FLAIR magnetic resonance.
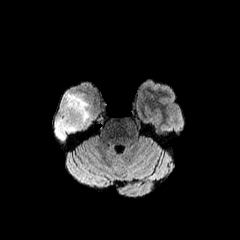
T1-weighted magnetic resonance.
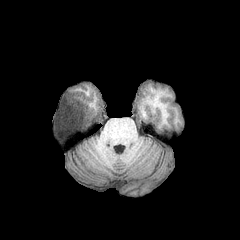
Post-contrast T1-weighted MRI.
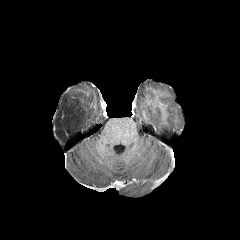
T2-weighted MRI.
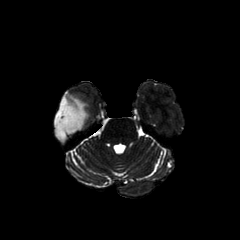
* peritumoral edema: l=54, t=93, r=90, b=142